FLAIR MR.
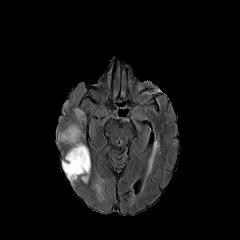
T1-weighted MR.
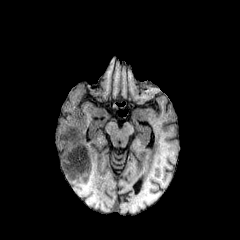
Post-contrast T1-weighted MR.
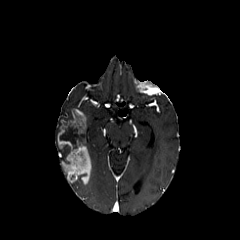
T2-weighted magnetic resonance.
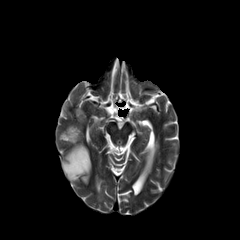
Image size 240x240 | Axial view
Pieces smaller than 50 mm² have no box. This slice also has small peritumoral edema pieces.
The largest enhancing tumor region appears at left=57, top=109, right=91, bottom=183. The largest necrotic tumor core region is bounded by left=60, top=124, right=83, bottom=148.